Image width 240 mm, 1.00 mm slice spacing. Slice 77 of 155. Axial view. Head.
FLAIR MR.
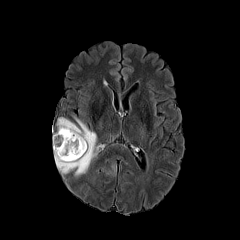
T1-weighted magnetic resonance.
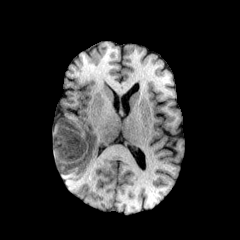
Post-contrast T1-weighted magnetic resonance.
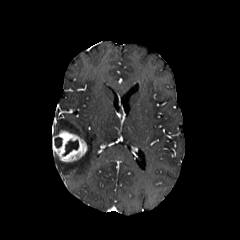
T2-weighted MR image.
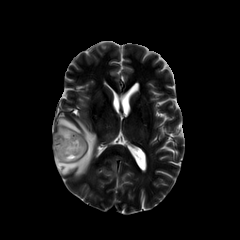
{
  "peritumoral_edema": [
    "x1=53 y1=118 x2=96 y2=176"
  ],
  "enhancing_tumor": [
    "x1=52 y1=130 x2=87 y2=162"
  ],
  "necrotic_tumor_core": [
    "x1=63 y1=140 x2=78 y2=155",
    "x1=54 y1=137 x2=62 y2=147"
  ]
}